FLAIR MR image.
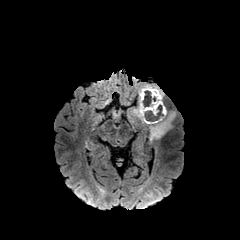
T1-weighted MR.
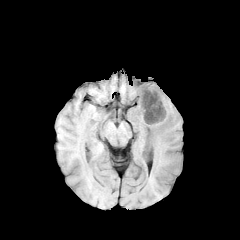
Post-contrast T1-weighted magnetic resonance.
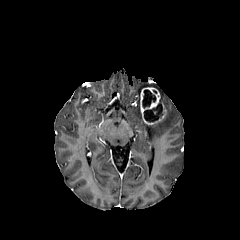
T2-weighted MR.
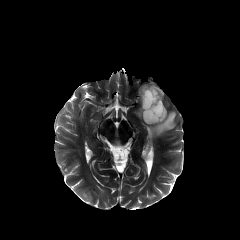
240x240 px
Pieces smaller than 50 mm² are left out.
The 2 largest necrotic tumor core regions are located at 144, 104, 162, 121; 142, 89, 155, 108. The enhancing tumor is located at 140, 87, 166, 124. 3 peritumoral edema regions are located at 147, 111, 175, 141; 138, 84, 164, 102; 131, 99, 145, 123.